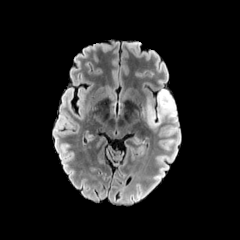
FLAIR magnetic resonance.
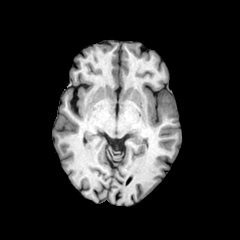
T1-weighted MRI.
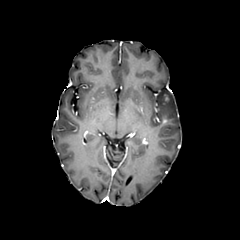
Post-contrast T1-weighted MR.
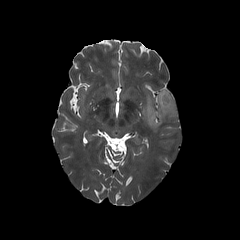
T2-weighted MR.
Axial plane, 240x240 px
The peritumoral edema appears at [142,89,176,127]. The enhancing tumor is located at [163,93,169,104].